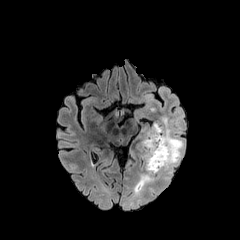
FLAIR magnetic resonance.
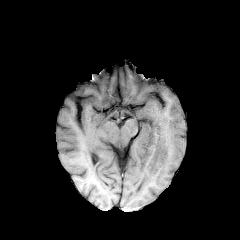
T1-weighted MR image.
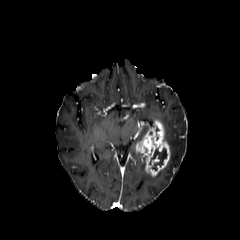
Same slice, post-contrast T1-weighted MR.
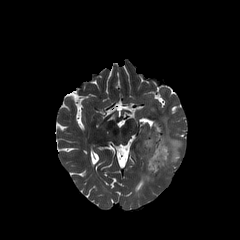
T2-weighted MR of the same slice.
Axial plane.
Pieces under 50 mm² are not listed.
• necrotic tumor core: x1=149 y1=148 x2=167 y2=170
• peritumoral edema: x1=157 y1=115 x2=184 y2=175, x1=133 y1=172 x2=156 y2=192
• enhancing tumor: x1=136 y1=119 x2=170 y2=176